Image width 240 mm, 1.00 mm slice spacing; Slice 63 of 155; Image size 240x240
FLAIR MRI.
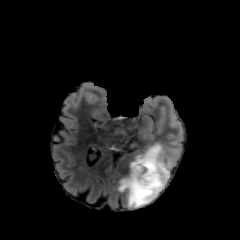
T1-weighted MR.
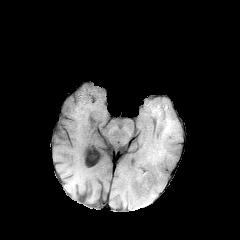
Post-contrast T1-weighted MR.
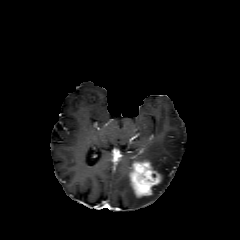
T2-weighted MR.
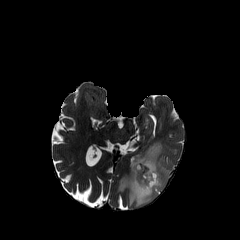
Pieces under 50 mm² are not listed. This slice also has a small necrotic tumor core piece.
{
  "peritumoral_edema": [
    {"x1": 118, "y1": 143, "x2": 173, "y2": 207}
  ],
  "enhancing_tumor": [
    {"x1": 129, "y1": 160, "x2": 161, "y2": 197}
  ]
}